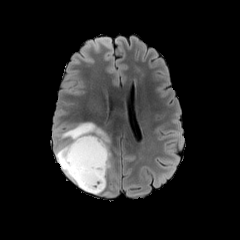
FLAIR magnetic resonance.
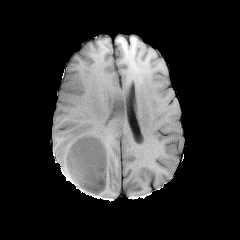
T1-weighted MR.
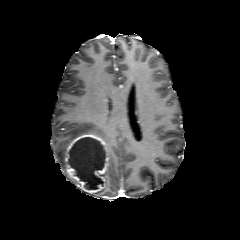
Post-contrast T1-weighted MR image.
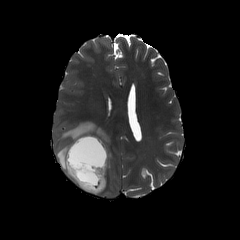
T2-weighted MR image.
240x240
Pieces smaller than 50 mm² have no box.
Findings:
- enhancing tumor: left=63, top=133, right=108, bottom=194
- necrotic tumor core: left=68, top=137, right=105, bottom=189
- peritumoral edema: left=55, top=122, right=112, bottom=178